Axial plane | 240x240 | Head | Slice 47/155
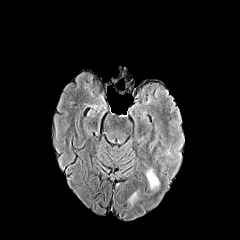
FLAIR MR.
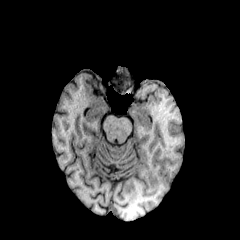
T1-weighted MR image.
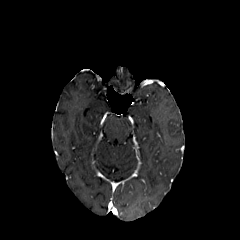
Same slice, post-contrast T1-weighted MR.
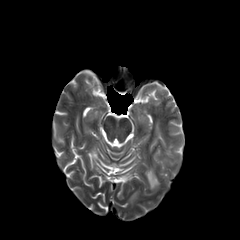
T2-weighted magnetic resonance.
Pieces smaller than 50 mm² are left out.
peritumoral edema: rect(146, 169, 159, 188)